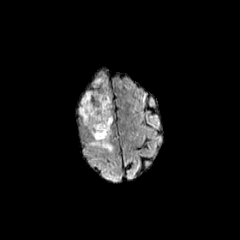
FLAIR magnetic resonance.
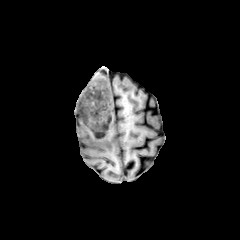
Same slice, T1-weighted MRI.
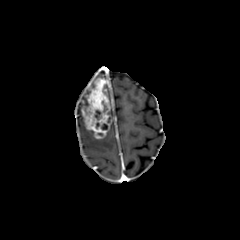
Post-contrast T1-weighted MRI of the same slice.
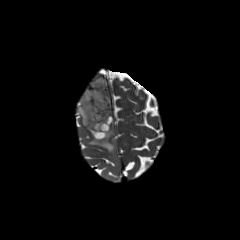
T2-weighted MR image.
Brain. Axial view. Image size 240x240.
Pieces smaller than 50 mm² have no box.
peritumoral edema: <bbox>79, 90, 89, 127</bbox>, <bbox>89, 127, 113, 151</bbox>
enhancing tumor: <bbox>81, 78, 112, 139</bbox>
necrotic tumor core: <bbox>94, 110, 101, 120</bbox>